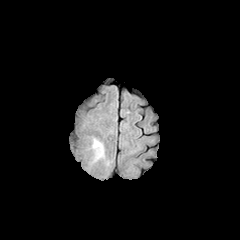
FLAIR MR image.
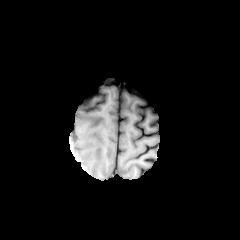
T1-weighted MR image.
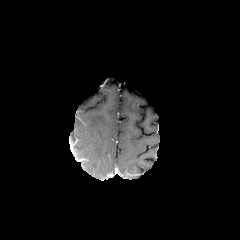
Same slice, post-contrast T1-weighted MR image.
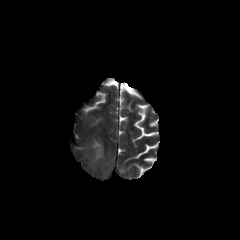
T2-weighted MR of the same slice.
Brain
{"peritumoral_edema": ["bbox=[92, 138, 104, 161]"]}